FLAIR MR.
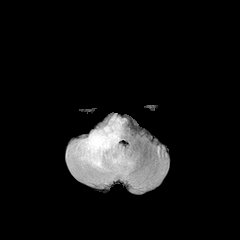
T1-weighted MRI.
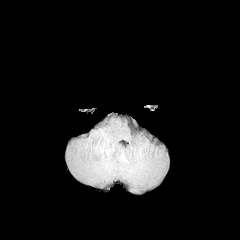
Post-contrast T1-weighted MRI.
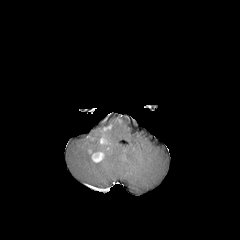
T2-weighted MR.
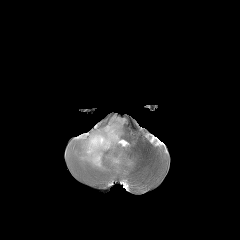
Image size 240x240. Head. Axial view.
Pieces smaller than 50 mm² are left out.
enhancing_tumor:
  - box(99, 136, 108, 145)
  - box(88, 149, 104, 162)
peritumoral_edema:
  - box(66, 115, 133, 183)